240x240 px. Image width 240 mm. Axial plane. Slice 34/155.
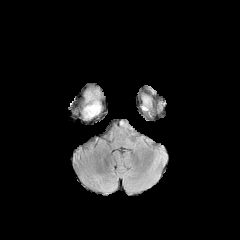
FLAIR magnetic resonance.
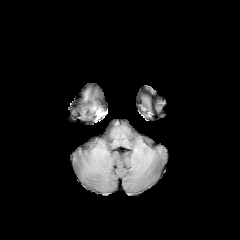
T1-weighted MR.
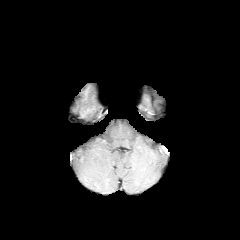
Post-contrast T1-weighted MR image.
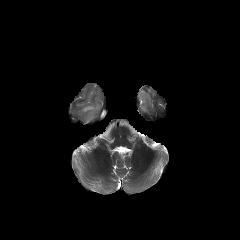
T2-weighted MR of the same slice.
peritumoral edema: <box>83,102,100,118</box>